Brain. Axial plane. Slice 54/155.
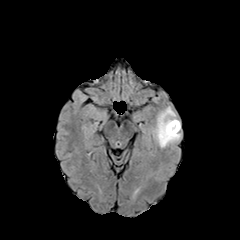
FLAIR magnetic resonance.
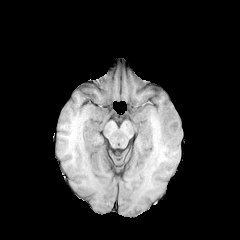
T1-weighted MR of the same slice.
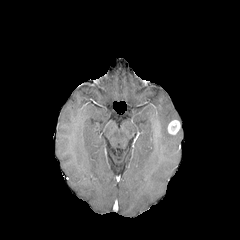
Post-contrast T1-weighted MRI of the same slice.
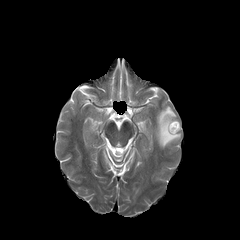
T2-weighted MRI of the same slice.
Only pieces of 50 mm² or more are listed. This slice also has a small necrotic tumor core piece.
Annotated regions:
• peritumoral edema: region(151, 106, 181, 148)
• enhancing tumor: region(167, 120, 180, 135)